240x240 px; Head
FLAIR MRI.
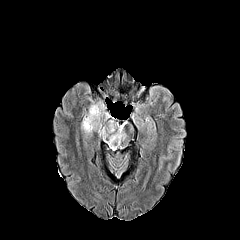
T1-weighted MR.
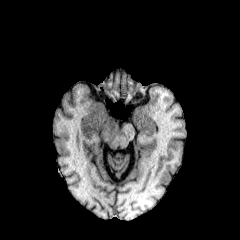
Post-contrast T1-weighted magnetic resonance.
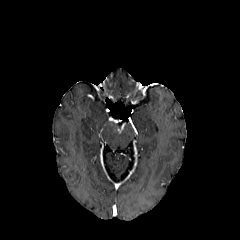
T2-weighted magnetic resonance.
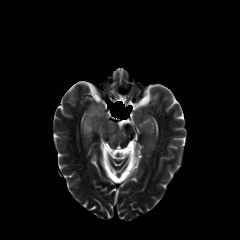
2 peritumoral edema regions appear at {"x1": 81, "y1": 103, "x2": 108, "y2": 137}, {"x1": 101, "y1": 120, "x2": 126, "y2": 148}.